FLAIR MR.
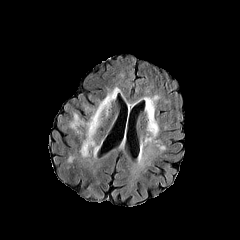
T1-weighted MR.
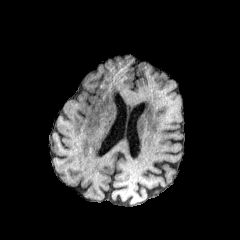
Post-contrast T1-weighted MRI.
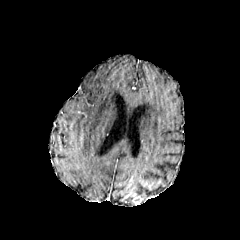
T2-weighted magnetic resonance.
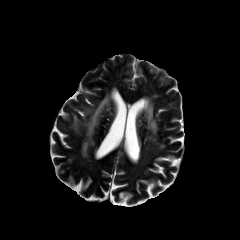
Brain. Axial plane.
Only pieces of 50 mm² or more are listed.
peritumoral edema at <box>72,91,111,156</box>